Slice index 108; Brain
FLAIR MR.
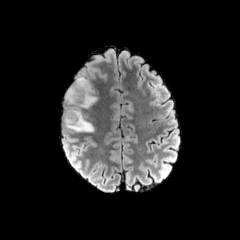
T1-weighted MRI.
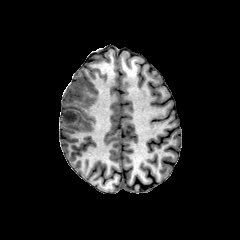
Post-contrast T1-weighted MR.
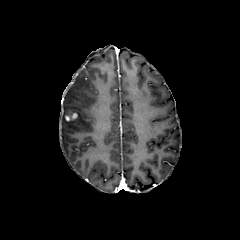
T2-weighted MRI.
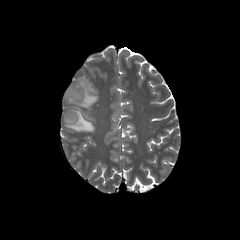
enhancing tumor — l=65, t=113, r=77, b=121
peritumoral edema — l=63, t=76, r=97, b=131